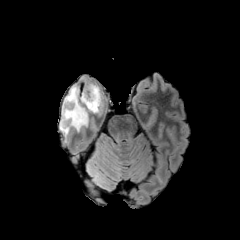
FLAIR magnetic resonance.
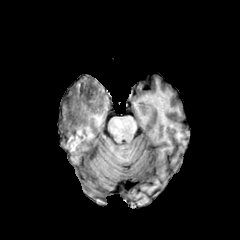
Same slice, T1-weighted MR image.
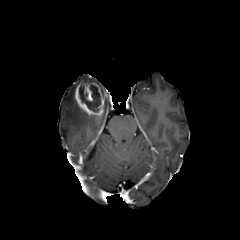
Post-contrast T1-weighted MR.
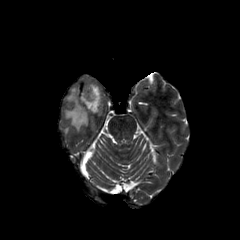
T2-weighted MR image.
Brain, Axial plane, Image size 240x240
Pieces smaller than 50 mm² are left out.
- enhancing tumor: x1=74, y1=82, x2=104, y2=115
- peritumoral edema: x1=60, y1=84, x2=88, y2=134
- necrotic tumor core: x1=79, y1=85, x2=100, y2=112